Brain, Axial slice, Image width 240 mm, Slice index 69
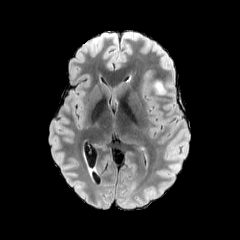
FLAIR MR image.
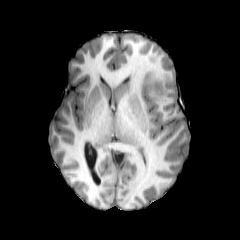
T1-weighted MR.
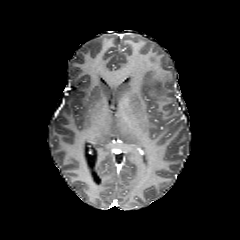
Same slice, post-contrast T1-weighted MR.
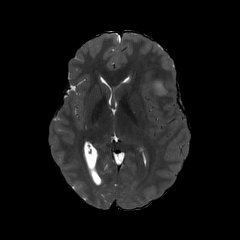
T2-weighted MR image of the same slice.
peritumoral_edema:
  - 148,79,167,95